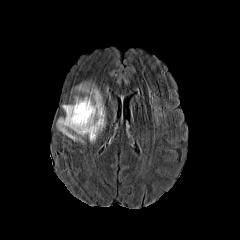
FLAIR MR image.
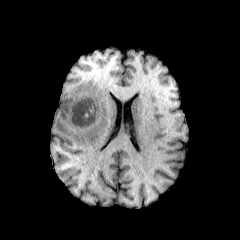
T1-weighted MR of the same slice.
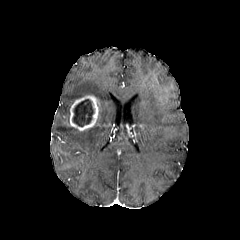
Same slice, post-contrast T1-weighted MRI.
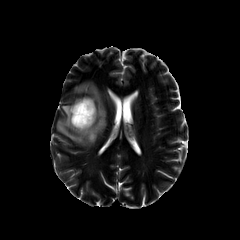
T2-weighted magnetic resonance.
Axial plane; Head
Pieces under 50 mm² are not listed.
necrotic tumor core — bbox(73, 99, 93, 126)
peritumoral edema — bbox(57, 82, 105, 144)
enhancing tumor — bbox(67, 95, 100, 131)